Image covers 240 mm x 240 mm; Slice 87/155
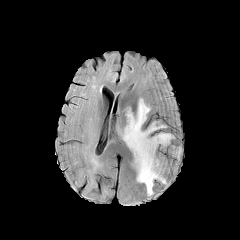
FLAIR MRI.
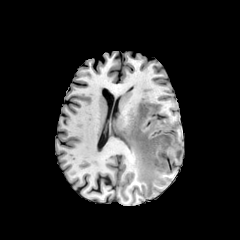
Same slice, T1-weighted magnetic resonance.
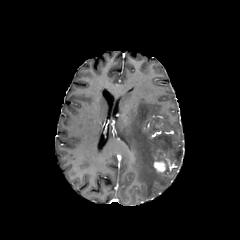
Post-contrast T1-weighted MRI.
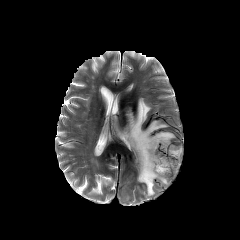
T2-weighted MR of the same slice.
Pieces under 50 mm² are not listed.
enhancing tumor: 153 155 173 172 | peritumoral edema: 169 146 181 160, 118 98 174 196